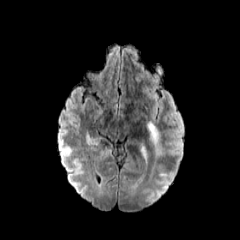
FLAIR MR image.
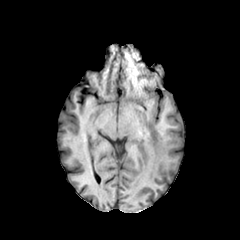
Same slice, T1-weighted MR.
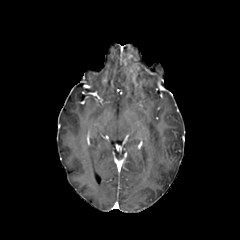
Same slice, post-contrast T1-weighted magnetic resonance.
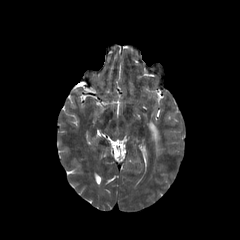
Same slice, T2-weighted magnetic resonance.
240x240 px; Brain
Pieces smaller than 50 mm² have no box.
Annotated regions:
- peritumoral edema: x1=147 y1=121 x2=160 y2=153